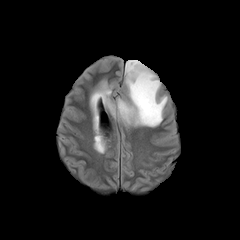
FLAIR MR image.
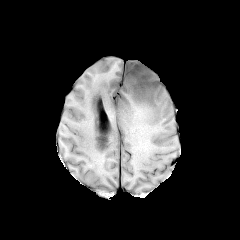
T1-weighted MRI of the same slice.
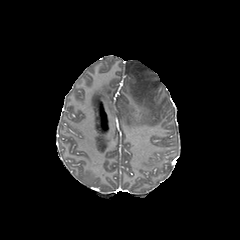
Post-contrast T1-weighted magnetic resonance.
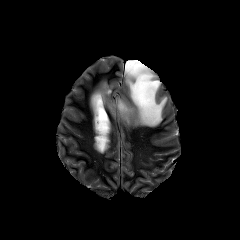
Same slice, T2-weighted MR image.
Image size 240x240, Brain
The peritumoral edema is located at box(90, 60, 167, 126).